Head; 240x240
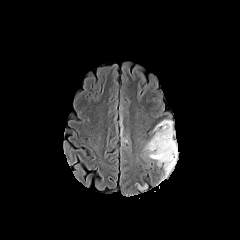
FLAIR MR.
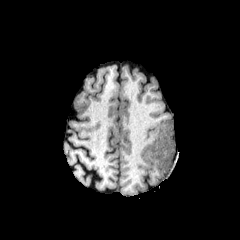
Same slice, T1-weighted MR.
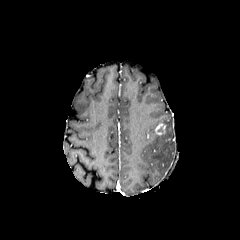
Post-contrast T1-weighted magnetic resonance of the same slice.
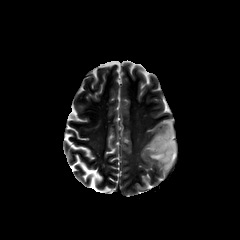
T2-weighted magnetic resonance.
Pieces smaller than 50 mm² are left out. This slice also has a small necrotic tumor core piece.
The enhancing tumor is at [155,123,165,135]. The 3 largest peritumoral edema regions appear at [121,116,128,142], [134,182,148,191], [144,119,177,177].